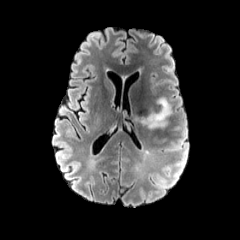
FLAIR MRI.
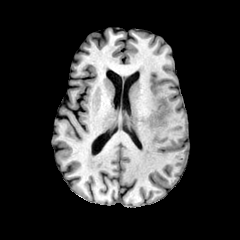
T1-weighted MRI.
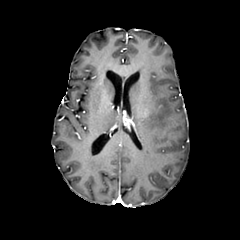
Post-contrast T1-weighted magnetic resonance.
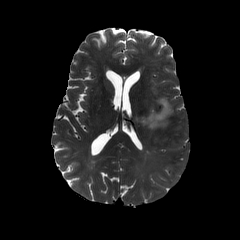
T2-weighted MR.
The peritumoral edema lies within x1=134 y1=97 x2=172 y2=128.